FLAIR MR image.
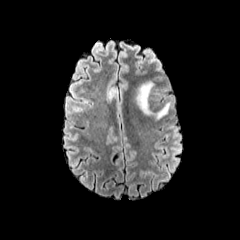
T1-weighted MR image.
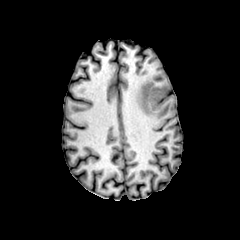
Post-contrast T1-weighted MR image.
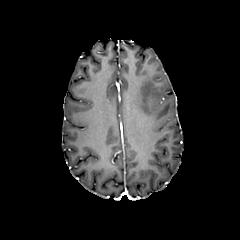
T2-weighted MRI.
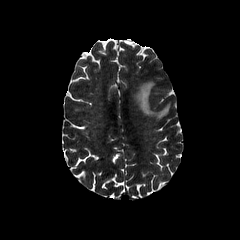
Head, Image size 240x240, Axial view
The peritumoral edema is located at <bbox>136, 81, 170, 119</bbox>.